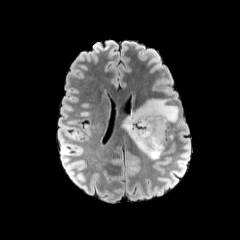
FLAIR MR.
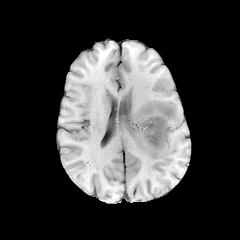
Same slice, T1-weighted MR.
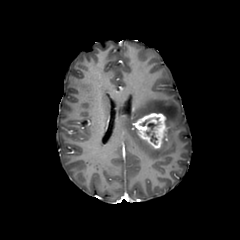
Post-contrast T1-weighted MR image of the same slice.
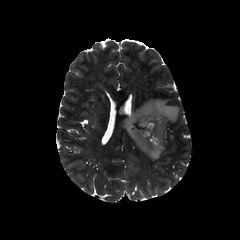
T2-weighted MRI.
Brain
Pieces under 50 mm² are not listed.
enhancing tumor: left=134, top=113, right=167, bottom=148 | necrotic tumor core: left=138, top=116, right=161, bottom=145 | peritumoral edema: left=121, top=99, right=178, bottom=159